Head.
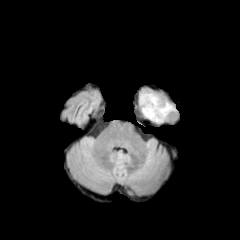
FLAIR MR.
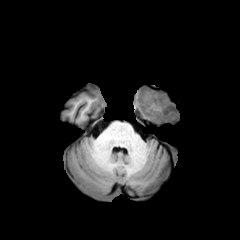
Same slice, T1-weighted MRI.
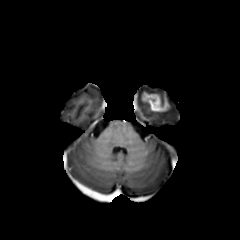
Post-contrast T1-weighted MR.
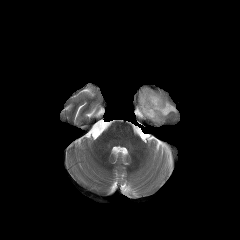
Same slice, T2-weighted MR.
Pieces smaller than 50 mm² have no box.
peritumoral edema: (x1=139, y1=90, x2=176, y2=122) | enhancing tumor: (x1=142, y1=92, x2=169, y2=111)